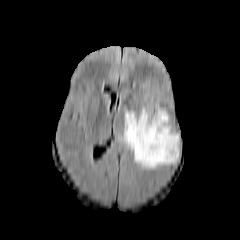
FLAIR MR image.
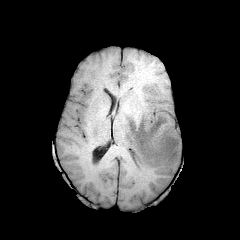
Same slice, T1-weighted MR image.
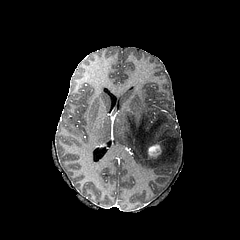
Post-contrast T1-weighted MRI.
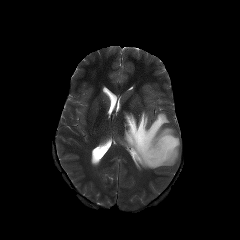
T2-weighted magnetic resonance.
Brain. 240x240 px. Axial plane.
enhancing tumor: (x1=148, y1=143, x2=161, y2=157)
peritumoral edema: (x1=121, y1=108, x2=179, y2=169)